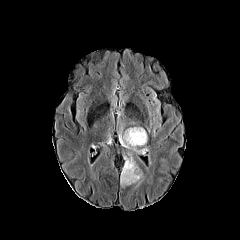
FLAIR MRI.
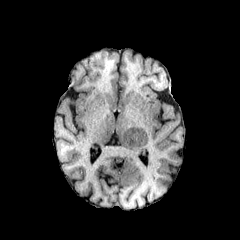
Same slice, T1-weighted MR image.
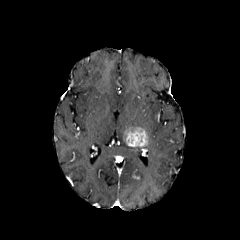
Post-contrast T1-weighted magnetic resonance.
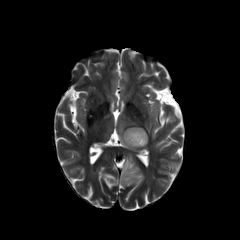
T2-weighted magnetic resonance.
Image size 240x240. Brain.
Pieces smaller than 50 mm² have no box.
peritumoral_edema:
  - {"x1": 119, "y1": 132, "x2": 148, "y2": 154}
  - {"x1": 120, "y1": 153, "x2": 144, "y2": 186}
enhancing_tumor:
  - {"x1": 124, "y1": 127, "x2": 147, "y2": 146}